240x240 px, Slice 120/155, Axial plane, Brain, Image covers 240 mm x 240 mm
FLAIR magnetic resonance.
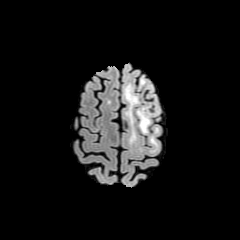
T1-weighted MRI.
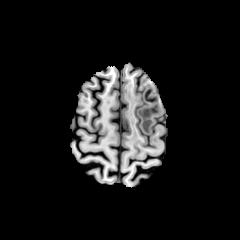
Post-contrast T1-weighted MR.
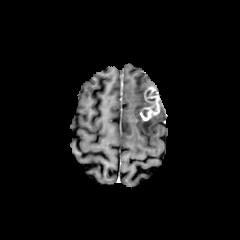
T2-weighted magnetic resonance.
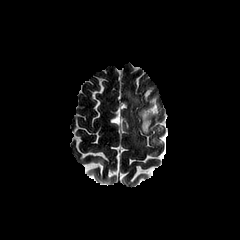
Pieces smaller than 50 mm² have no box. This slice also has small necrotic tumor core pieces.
Segmented structures:
- enhancing tumor: <box>140,85,160,121</box>
- peritumoral edema: <box>136,103,151,133</box>, <box>150,136,157,147</box>, <box>124,84,139,141</box>, <box>140,79,151,89</box>